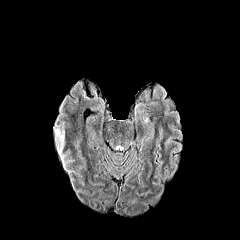
FLAIR MR.
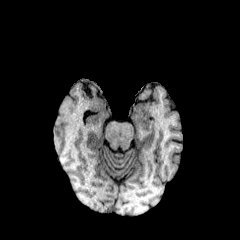
T1-weighted MRI.
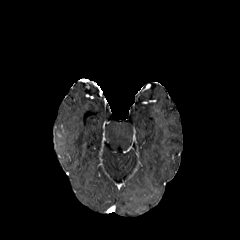
Post-contrast T1-weighted magnetic resonance.
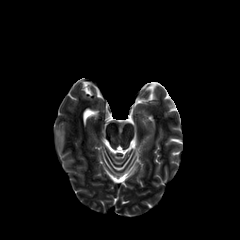
T2-weighted MRI.
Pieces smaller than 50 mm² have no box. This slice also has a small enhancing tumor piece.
peritumoral_edema:
  - [55,128,64,151]